Axial slice. Image width 240 mm, 1.00 mm slice spacing. Slice 40/155. Image size 240x240.
FLAIR MR.
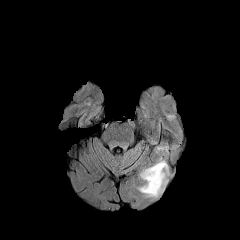
T1-weighted MR image.
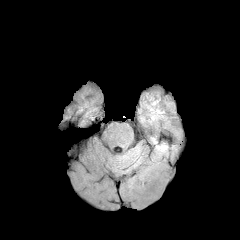
Post-contrast T1-weighted MR.
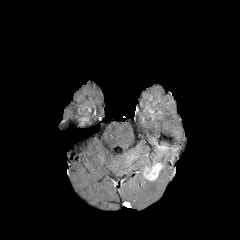
T2-weighted magnetic resonance.
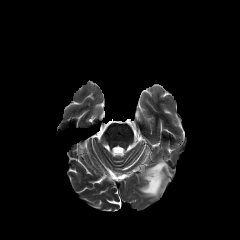
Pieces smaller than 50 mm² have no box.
The enhancing tumor appears at 144, 163, 162, 180. The largest peritumoral edema region is at 138, 158, 169, 197.